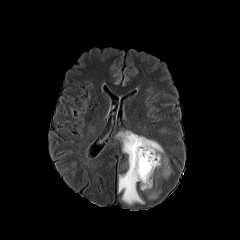
FLAIR magnetic resonance.
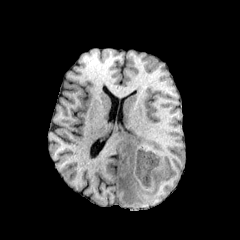
T1-weighted MR of the same slice.
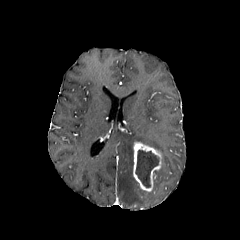
Post-contrast T1-weighted MRI.
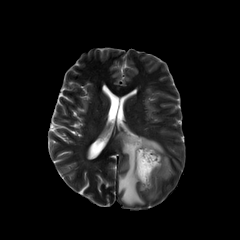
Same slice, T2-weighted MR.
Axial slice
Findings:
• peritumoral edema: 116 132 163 205, 154 157 170 184, 149 192 158 198
• necrotic tumor core: 136 150 158 187
• enhancing tumor: 132 142 163 192